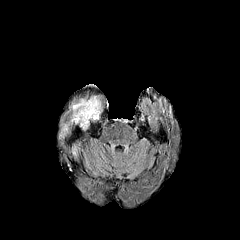
FLAIR MRI.
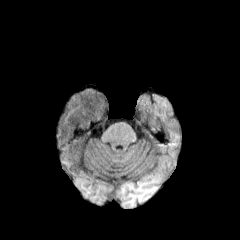
T1-weighted MR image of the same slice.
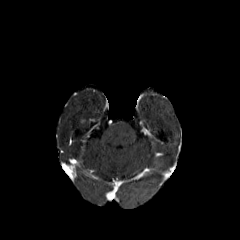
Post-contrast T1-weighted MR image of the same slice.
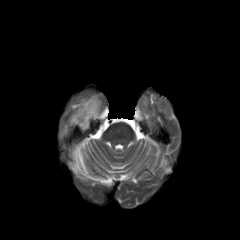
T2-weighted MR of the same slice.
Findings:
- peritumoral edema: 59,124,68,139; 71,96,102,131